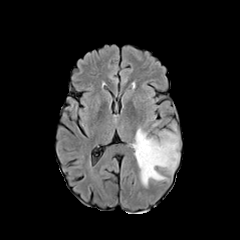
FLAIR MR image.
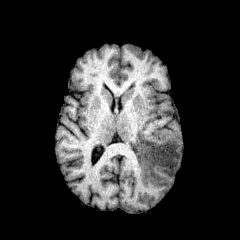
T1-weighted MR image.
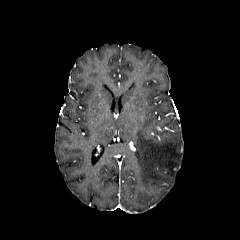
Same slice, post-contrast T1-weighted magnetic resonance.
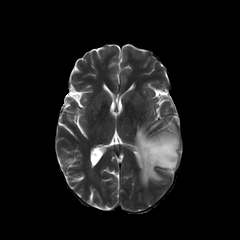
T2-weighted magnetic resonance of the same slice.
Axial view
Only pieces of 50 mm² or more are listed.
The largest peritumoral edema region is at (134, 128, 179, 186).